Axial view | Slice index 101 | Brain
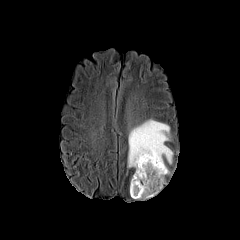
FLAIR MRI.
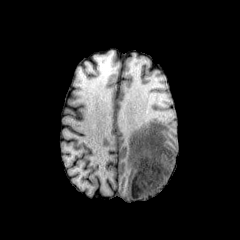
T1-weighted MR.
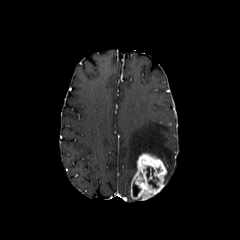
Same slice, post-contrast T1-weighted MR image.
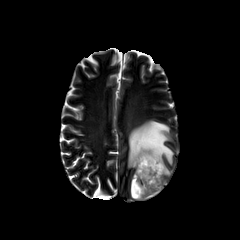
T2-weighted MRI of the same slice.
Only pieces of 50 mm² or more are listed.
The enhancing tumor is at 130,153,167,199. The largest peritumoral edema region is located at 127,119,173,170. The 2 largest necrotic tumor core regions appear at 148,176,158,187; 133,183,139,196.